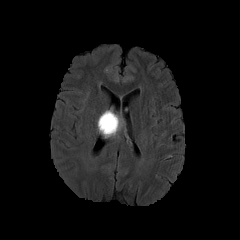
FLAIR MR image.
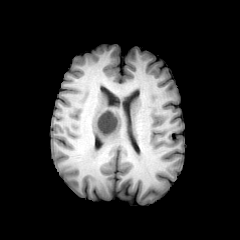
T1-weighted MRI.
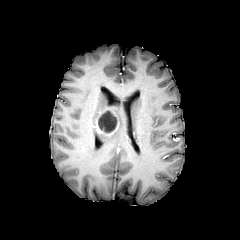
Post-contrast T1-weighted MR.
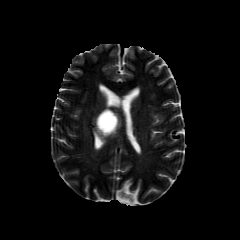
Same slice, T2-weighted magnetic resonance.
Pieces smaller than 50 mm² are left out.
<segmentation>
  <peritumoral_edema>(102,110,121,137)</peritumoral_edema>
  <necrotic_tumor_core>(98,111,117,132)</necrotic_tumor_core>
  <enhancing_tumor>(96,117,118,135)</enhancing_tumor>
</segmentation>